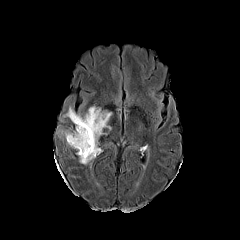
FLAIR MR.
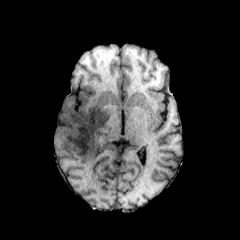
T1-weighted MR image.
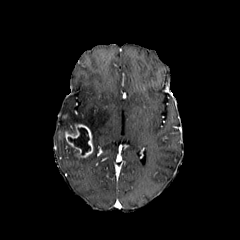
Post-contrast T1-weighted magnetic resonance of the same slice.
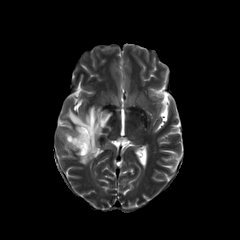
T2-weighted MR image.
Head
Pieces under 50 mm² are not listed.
<segmentation>
  <peritumoral_edema>l=64, t=106, r=111, b=187</peritumoral_edema>
  <necrotic_tumor_core>l=68, t=128, r=90, b=155</necrotic_tumor_core>
  <enhancing_tumor>l=59, t=124, r=93, b=157</enhancing_tumor>
</segmentation>